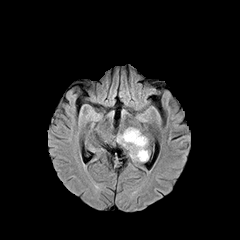
FLAIR magnetic resonance.
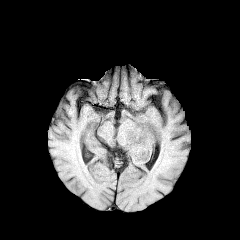
T1-weighted MRI.
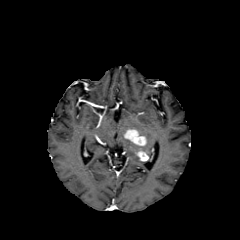
Post-contrast T1-weighted MR image.
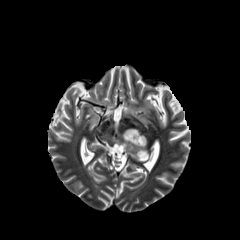
T2-weighted MR.
240x240 px, Axial plane, Head
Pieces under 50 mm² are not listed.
• peritumoral edema: rect(117, 129, 147, 161)
• enhancing tumor: rect(135, 149, 148, 161); rect(124, 129, 146, 146)